Brain. Slice index 73.
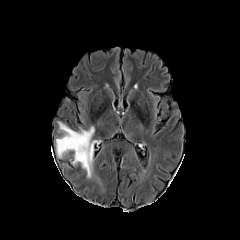
FLAIR MRI.
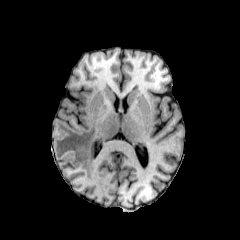
T1-weighted magnetic resonance.
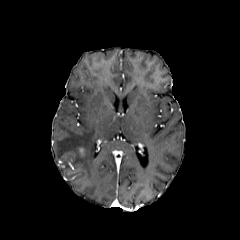
Post-contrast T1-weighted MRI.
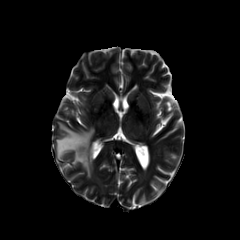
T2-weighted MR image.
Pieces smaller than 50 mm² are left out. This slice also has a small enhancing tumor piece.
The peritumoral edema is located at [56,122,95,177].